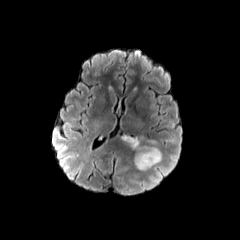
FLAIR MRI.
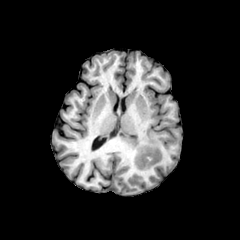
Same slice, T1-weighted MRI.
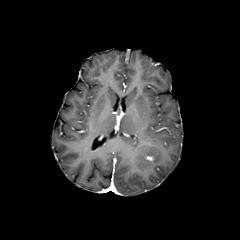
Post-contrast T1-weighted MR image of the same slice.
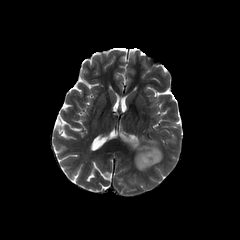
T2-weighted magnetic resonance of the same slice.
Axial plane, 240x240
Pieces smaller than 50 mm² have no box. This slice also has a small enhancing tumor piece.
{"peritumoral_edema": ["(x1=122, y1=134, x2=162, y2=171)"]}